Slice 76 of 155, Axial plane
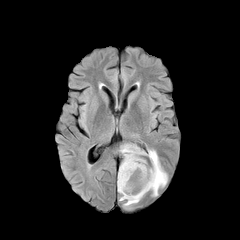
FLAIR MR image.
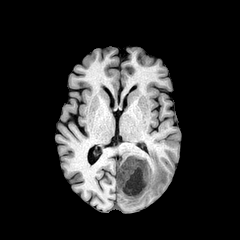
T1-weighted MRI of the same slice.
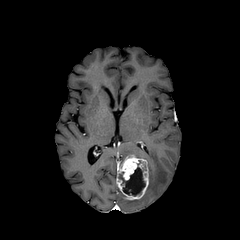
Post-contrast T1-weighted MRI.
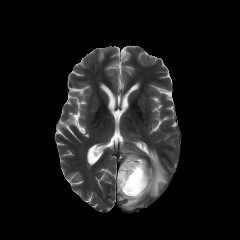
T2-weighted MRI.
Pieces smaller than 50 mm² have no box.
The necrotic tumor core is bounded by region(119, 167, 145, 195). The 2 largest peritumoral edema regions are located at region(123, 199, 140, 208); region(121, 145, 167, 196). The enhancing tumor lies within region(116, 154, 149, 200).